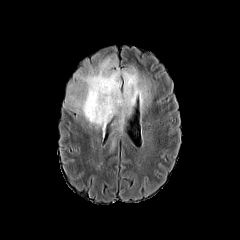
FLAIR MRI.
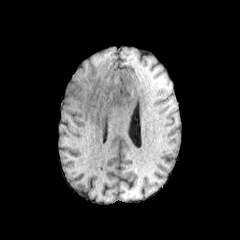
T1-weighted MR image.
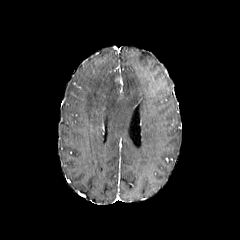
Post-contrast T1-weighted MRI.
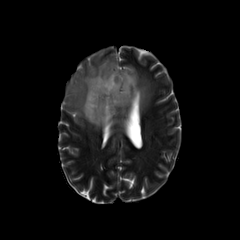
T2-weighted MR.
Segmented structures:
- peritumoral edema: left=66, top=58, right=152, bottom=128